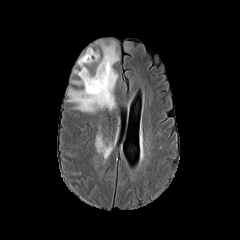
FLAIR magnetic resonance.
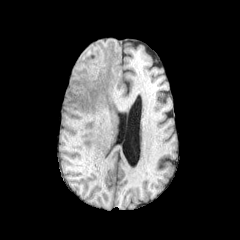
Same slice, T1-weighted MR image.
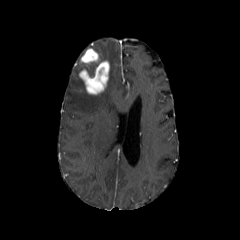
Same slice, post-contrast T1-weighted MR image.
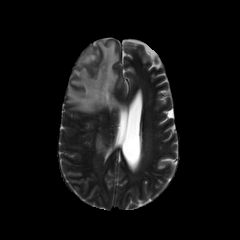
Same slice, T2-weighted MRI.
Brain. Axial plane. 240x240.
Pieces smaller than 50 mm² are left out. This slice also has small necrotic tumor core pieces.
- peritumoral edema: 96 131 111 158, 67 41 118 112
- enhancing tumor: 79 60 109 94, 79 48 99 64